Head. Axial view.
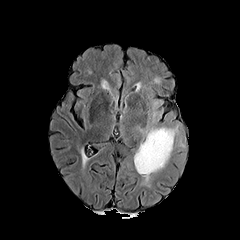
FLAIR magnetic resonance.
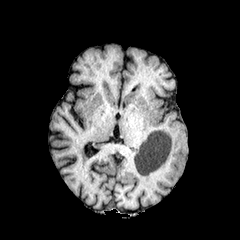
T1-weighted MRI.
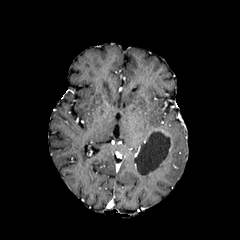
Post-contrast T1-weighted MR of the same slice.
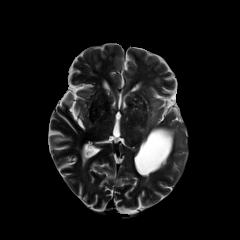
T2-weighted magnetic resonance.
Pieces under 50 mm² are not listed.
necrotic tumor core at 135:131:170:174
enhancing tumor at 156:130:172:152
peritumoral edema at 136:126:178:182